FLAIR MRI.
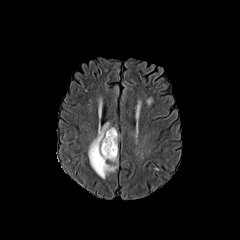
T1-weighted magnetic resonance.
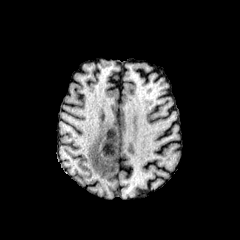
Post-contrast T1-weighted MRI.
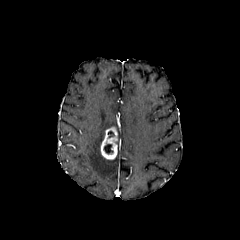
T2-weighted MR.
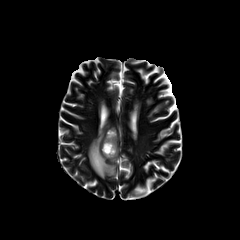
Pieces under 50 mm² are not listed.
The enhancing tumor lies within (100,127,117,159). The largest peritumoral edema region appears at (88,122,118,178). The largest necrotic tumor core region is bounded by (104,144,113,153).